Head | Slice index 30 | Image covers 240 mm x 240 mm
FLAIR magnetic resonance.
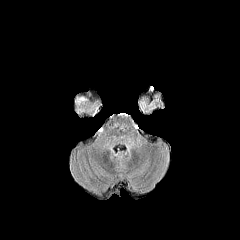
T1-weighted MR.
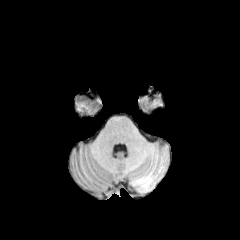
Post-contrast T1-weighted MRI.
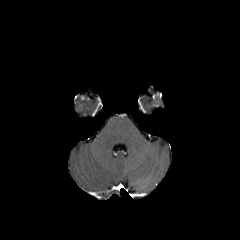
T2-weighted MRI.
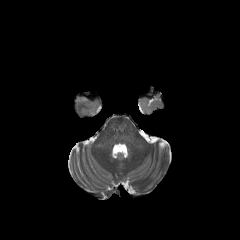
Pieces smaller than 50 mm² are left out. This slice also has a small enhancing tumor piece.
The peritumoral edema appears at 75,95,86,101.